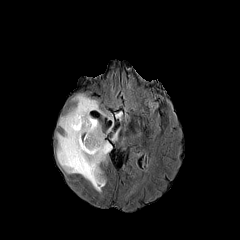
FLAIR MRI.
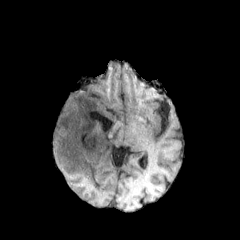
T1-weighted MR image.
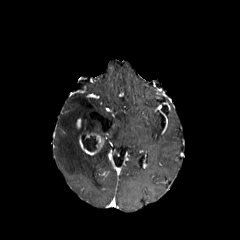
Post-contrast T1-weighted MR.
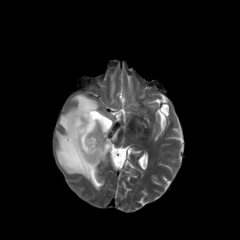
T2-weighted MR image of the same slice.
240x240 | Brain
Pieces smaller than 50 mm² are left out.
Annotated regions:
- necrotic tumor core: [83,135,97,151]
- peritumoral edema: [109,128,119,141], [56,94,111,192]
- enhancing tumor: [79,133,104,155]